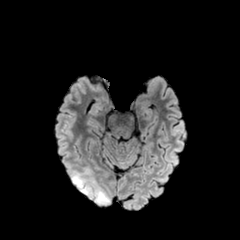
FLAIR magnetic resonance.
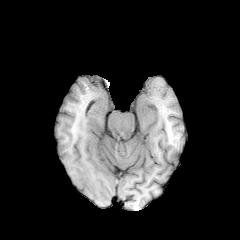
T1-weighted magnetic resonance of the same slice.
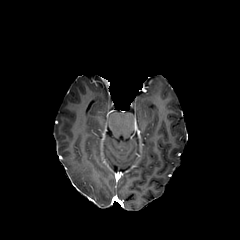
Post-contrast T1-weighted MR.
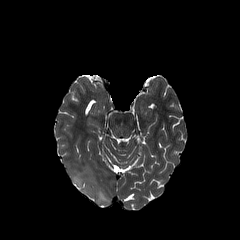
Same slice, T2-weighted MR.
240x240 px | Axial plane
peritumoral edema at 71:170:109:204